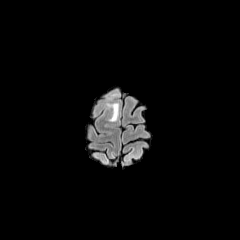
FLAIR MR.
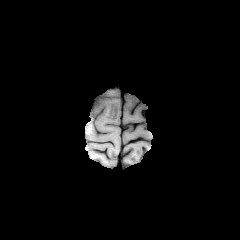
T1-weighted MR image.
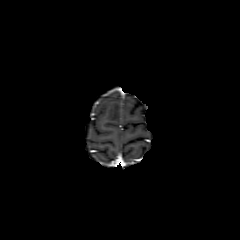
Post-contrast T1-weighted MR.
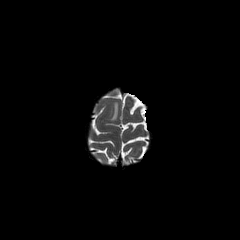
T2-weighted magnetic resonance of the same slice.
240x240 px
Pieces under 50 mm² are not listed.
peritumoral edema = bbox(106, 103, 118, 121)